240x240 px. Head.
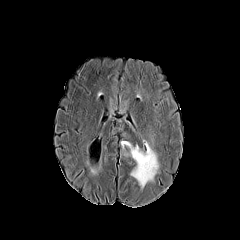
FLAIR magnetic resonance.
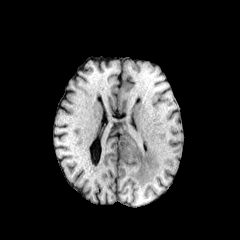
T1-weighted MR.
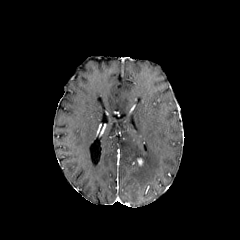
Post-contrast T1-weighted magnetic resonance.
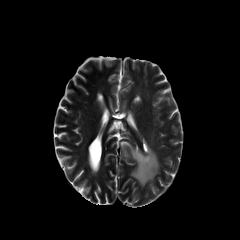
T2-weighted MR.
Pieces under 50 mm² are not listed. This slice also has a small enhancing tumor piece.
The largest peritumoral edema region is at left=121, top=141, right=159, bottom=188.